FLAIR magnetic resonance.
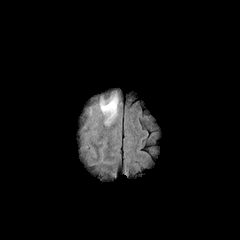
T1-weighted magnetic resonance.
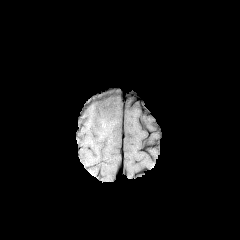
Post-contrast T1-weighted MRI.
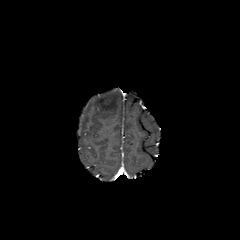
T2-weighted magnetic resonance.
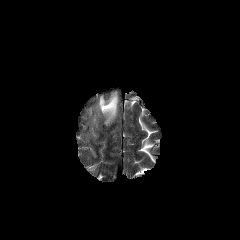
Image size 240x240.
<segmentation>
  <peritumoral_edema>x1=99 y1=94 x2=118 y2=124</peritumoral_edema>
</segmentation>